FLAIR MR.
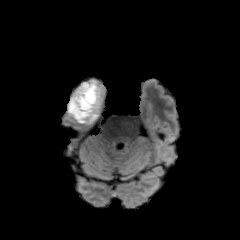
T1-weighted MRI.
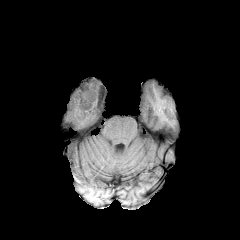
Post-contrast T1-weighted MR.
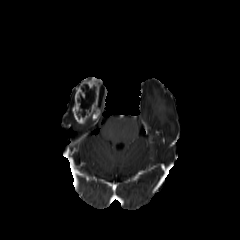
T2-weighted MRI.
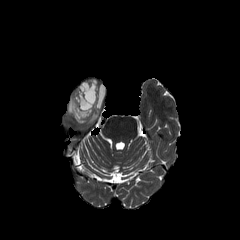
Axial view
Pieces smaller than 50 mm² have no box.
<segmentation>
  <necrotic_tumor_core>(left=77, top=84, right=95, bottom=117), (left=98, top=86, right=104, bottom=107)</necrotic_tumor_core>
  <peritumoral_edema>(left=67, top=92, right=74, bottom=117)</peritumoral_edema>
  <enhancing_tumor>(left=71, top=77, right=102, bottom=124)</enhancing_tumor>
</segmentation>